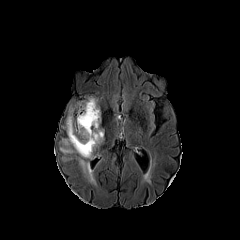
FLAIR MR image.
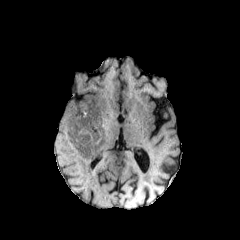
T1-weighted MR of the same slice.
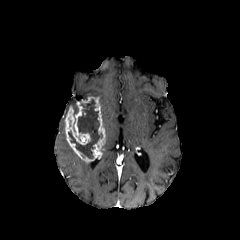
Post-contrast T1-weighted magnetic resonance.
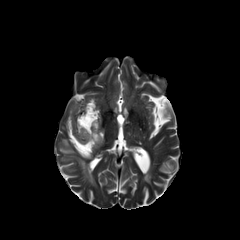
T2-weighted magnetic resonance of the same slice.
Axial slice
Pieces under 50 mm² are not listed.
necrotic_tumor_core:
  - box(68, 99, 102, 158)
enhancing_tumor:
  - box(65, 96, 104, 162)
peritumoral_edema:
  - box(60, 138, 96, 185)